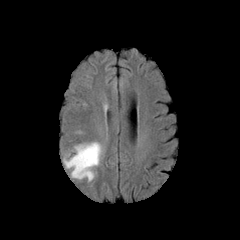
FLAIR magnetic resonance.
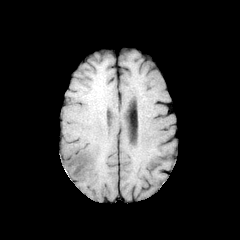
T1-weighted MR.
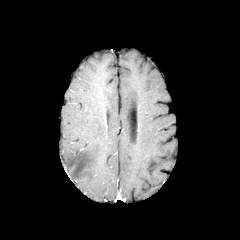
Post-contrast T1-weighted MR image of the same slice.
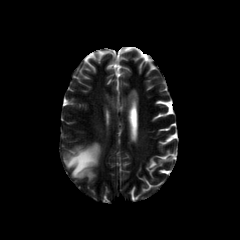
T2-weighted MR image.
240x240
peritumoral edema: bounding box box=[63, 142, 102, 181]